Axial slice; Brain
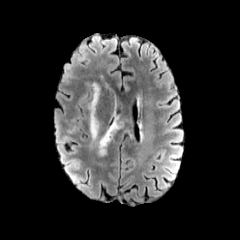
FLAIR MR.
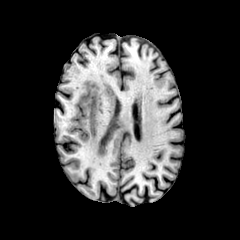
T1-weighted MRI.
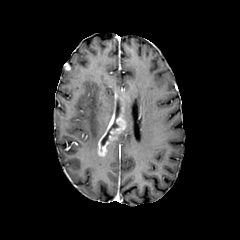
Post-contrast T1-weighted MRI.
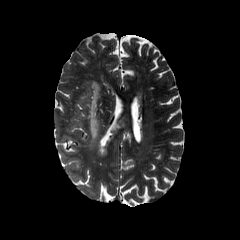
T2-weighted MRI.
The enhancing tumor is at (98,118,125,156). The necrotic tumor core is at (101,120,118,145). The peritumoral edema lies within (88,82,100,141).